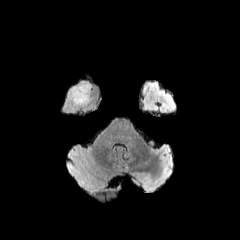
FLAIR magnetic resonance.
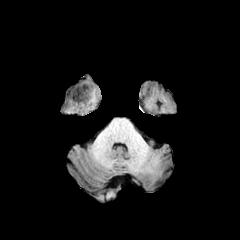
T1-weighted MR image.
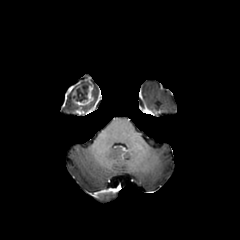
Post-contrast T1-weighted MRI.
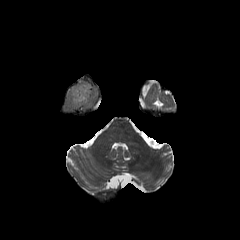
Same slice, T2-weighted magnetic resonance.
Image size 240x240. Brain.
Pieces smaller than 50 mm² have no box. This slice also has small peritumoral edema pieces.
enhancing tumor: (left=66, top=81, right=93, bottom=106) | necrotic tumor core: (left=73, top=84, right=88, bottom=101)